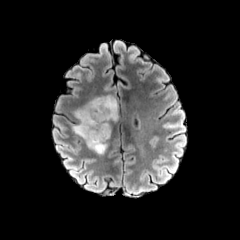
FLAIR MR.
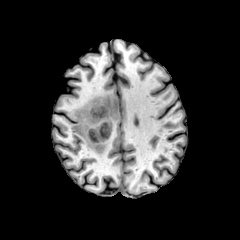
T1-weighted magnetic resonance of the same slice.
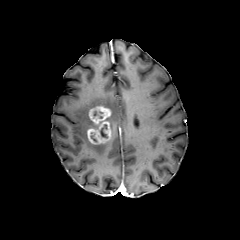
Post-contrast T1-weighted MRI of the same slice.
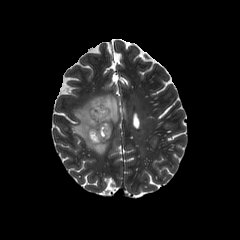
T2-weighted MR image.
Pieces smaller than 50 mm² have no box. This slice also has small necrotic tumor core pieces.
enhancing tumor: 87,105,111,144 | peritumoral edema: 72,95,118,154